FLAIR MRI.
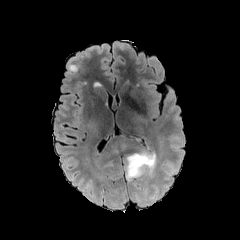
T1-weighted MRI.
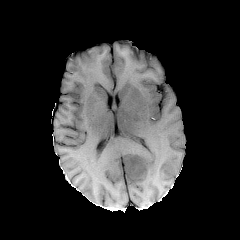
Post-contrast T1-weighted magnetic resonance.
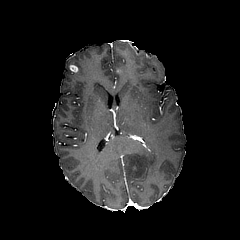
T2-weighted MR.
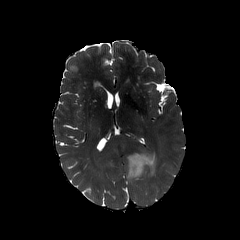
240x240 px; Brain; Axial plane
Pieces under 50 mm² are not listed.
The largest enhancing tumor region is located at 69, 65, 77, 72. The largest peritumoral edema region is located at 126, 150, 156, 181.